FLAIR magnetic resonance.
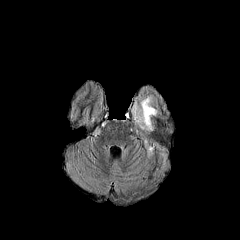
T1-weighted MR image.
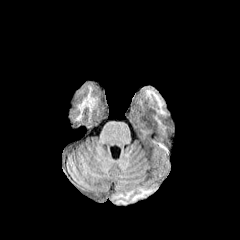
Post-contrast T1-weighted MR image.
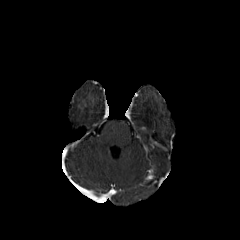
T2-weighted MRI.
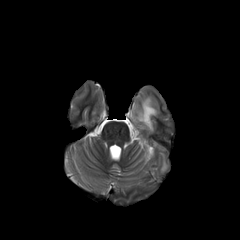
Axial view | Brain | 240x240 px
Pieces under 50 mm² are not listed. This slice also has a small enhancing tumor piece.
The 2 largest peritumoral edema regions are located at (x1=132, y1=96, x2=158, y2=130), (x1=144, y1=140, x2=153, y2=155).